240x240 px
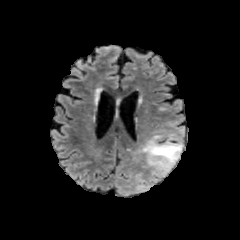
FLAIR MR image.
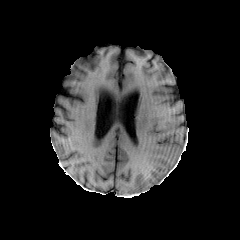
Same slice, T1-weighted magnetic resonance.
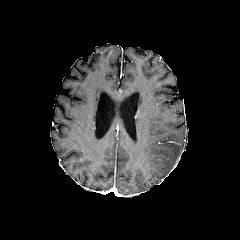
Post-contrast T1-weighted MR.
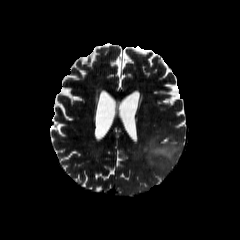
T2-weighted MR image.
The peritumoral edema is located at [142,135,182,174].